Slice index 63; Head; Image width 240 mm, 1.00 mm slice spacing
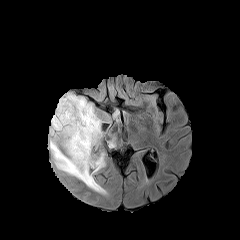
FLAIR magnetic resonance.
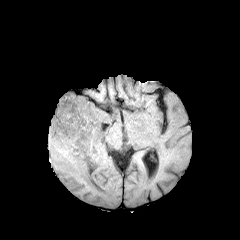
T1-weighted magnetic resonance of the same slice.
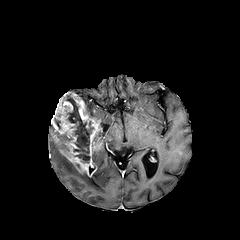
Post-contrast T1-weighted MR image of the same slice.
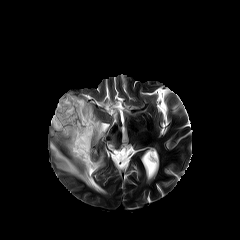
T2-weighted MR.
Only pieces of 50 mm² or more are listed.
Segmented structures:
- peritumoral edema: box(81, 97, 103, 125); box(50, 138, 106, 193); box(92, 152, 105, 172)
- enhancing tumor: box(50, 92, 102, 177)
- necrotic tumor core: box(66, 95, 93, 162)